FLAIR MR image.
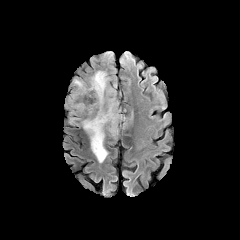
T1-weighted magnetic resonance.
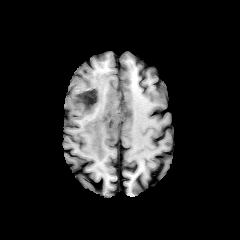
Post-contrast T1-weighted magnetic resonance.
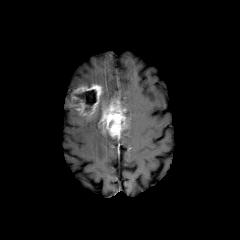
T2-weighted MR.
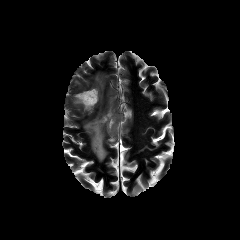
Brain, Axial view
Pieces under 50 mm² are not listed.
necrotic tumor core: bounding box 73:90:96:111
peritumoral edema: bounding box 92:71:106:104, 83:113:107:162
enhancing tumor: bounding box 98:97:129:138, 70:84:102:116